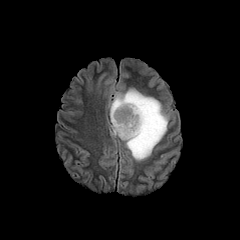
FLAIR MRI.
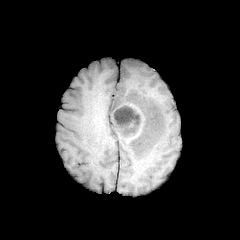
T1-weighted MR image of the same slice.
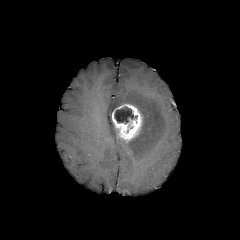
Same slice, post-contrast T1-weighted MRI.
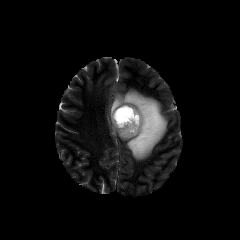
T2-weighted MR image of the same slice.
Axial plane; Image size 240x240; Brain
The necrotic tumor core lies within [114,107,137,123]. The peritumoral edema is bounded by [110,88,168,160]. The enhancing tumor is bounded by [111,104,142,141].